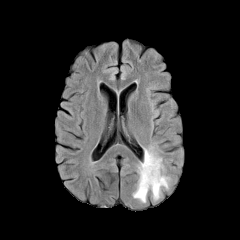
FLAIR MRI.
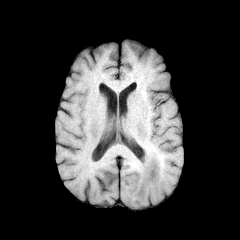
T1-weighted magnetic resonance.
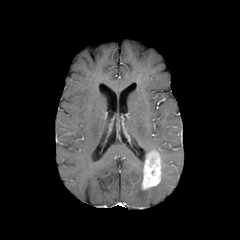
Post-contrast T1-weighted MR of the same slice.
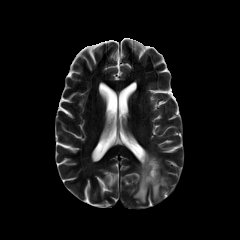
T2-weighted MR image.
Brain; Image size 240x240
peritumoral edema at rect(133, 145, 170, 202)
enhancing tumor at rect(141, 151, 161, 189)